Image size 240x240, Brain
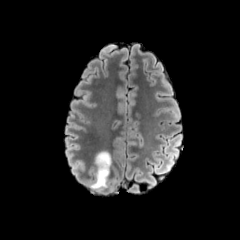
FLAIR MR.
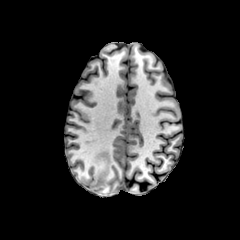
T1-weighted magnetic resonance.
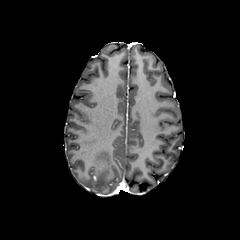
Same slice, post-contrast T1-weighted magnetic resonance.
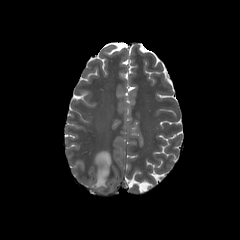
T2-weighted magnetic resonance.
peritumoral edema at region(90, 150, 112, 190)